Axial view
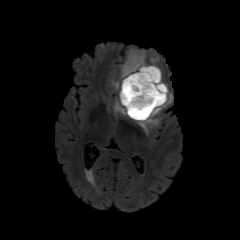
FLAIR MRI.
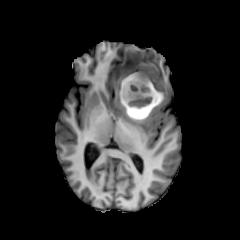
T1-weighted MR image.
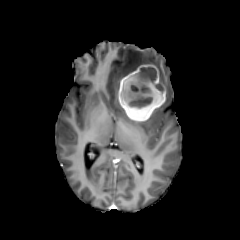
Post-contrast T1-weighted MR.
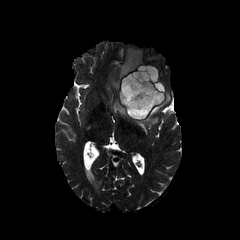
T2-weighted MR image.
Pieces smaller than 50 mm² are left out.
Findings:
- peritumoral edema: (x1=113, y1=98, x2=126, y2=115), (x1=135, y1=68, x2=172, y2=134), (x1=112, y1=48, x2=150, y2=92)
- necrotic tumor core: (x1=121, y1=67, x2=163, y2=118)
- enhancing tumor: (x1=118, y1=65, x2=165, y2=121)